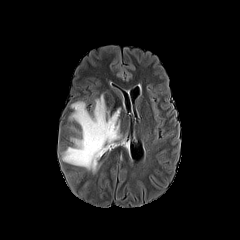
FLAIR MR image.
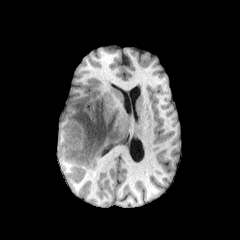
T1-weighted MRI.
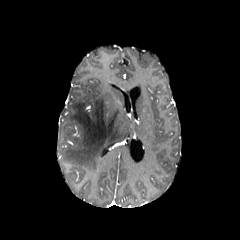
Post-contrast T1-weighted MRI of the same slice.
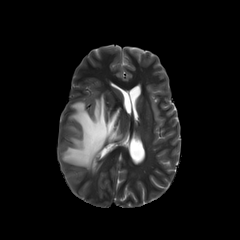
T2-weighted magnetic resonance.
Head. Axial slice.
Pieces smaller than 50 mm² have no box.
<segmentation>
  <peritumoral_edema>62, 94, 122, 172</peritumoral_edema>
</segmentation>